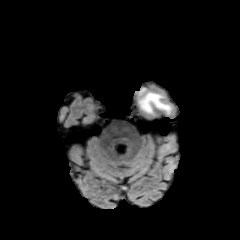
FLAIR MR image.
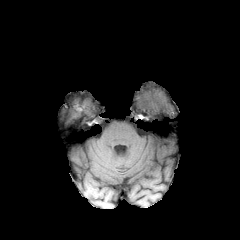
T1-weighted MR.
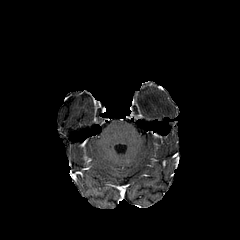
Post-contrast T1-weighted magnetic resonance.
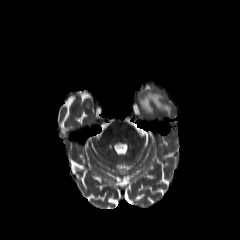
T2-weighted MRI.
The peritumoral edema is at [138, 88, 171, 115].